FLAIR MR image.
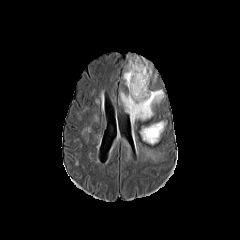
T1-weighted magnetic resonance.
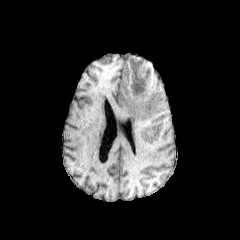
Post-contrast T1-weighted MR.
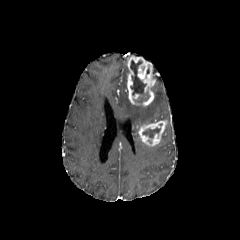
T2-weighted MR.
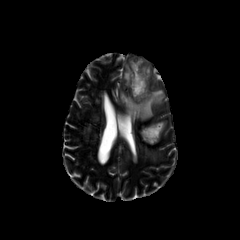
Axial slice | Image size 240x240
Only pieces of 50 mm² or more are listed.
Annotated regions:
* peritumoral edema: x1=119, y1=87, x2=164, y2=120; x1=138, y1=144, x2=159, y2=159
* enhancing tumor: x1=127, y1=55, x2=155, y2=106; x1=138, y1=120, x2=167, y2=145
* necrotic tumor core: x1=130, y1=60, x2=146, y2=95; x1=143, y1=128, x2=160, y2=138